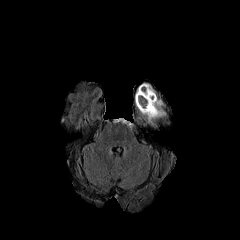
FLAIR MR.
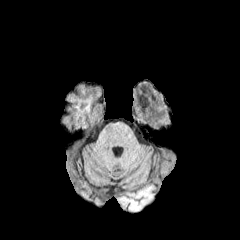
T1-weighted MR image.
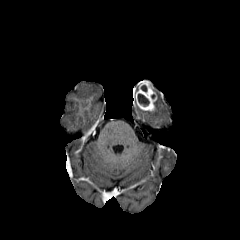
Post-contrast T1-weighted MRI of the same slice.
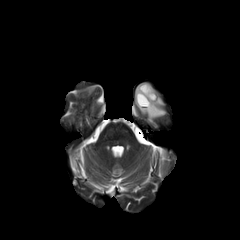
T2-weighted MRI of the same slice.
Brain
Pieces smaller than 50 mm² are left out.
Segmented structures:
• necrotic tumor core: bbox(138, 94, 149, 106)
• peritumoral edema: bbox(137, 98, 165, 124)
• enhancing tumor: bbox(135, 81, 157, 112)